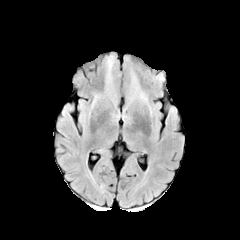
FLAIR MR image.
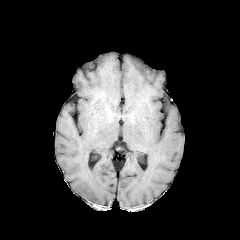
Same slice, T1-weighted magnetic resonance.
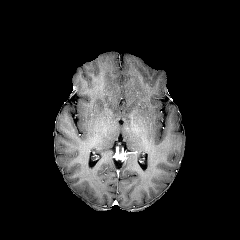
Post-contrast T1-weighted MR image.
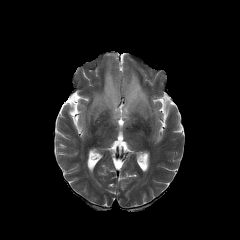
T2-weighted MR.
Axial view.
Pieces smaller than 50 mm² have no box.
<segmentation>
  <peritumoral_edema>box(124, 73, 151, 112); box(105, 59, 117, 105)</peritumoral_edema>
</segmentation>